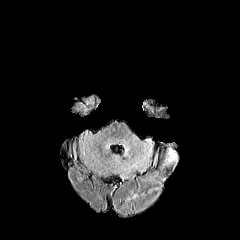
FLAIR magnetic resonance.
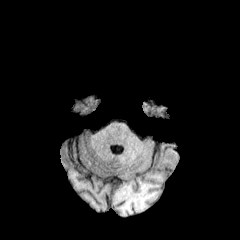
T1-weighted magnetic resonance.
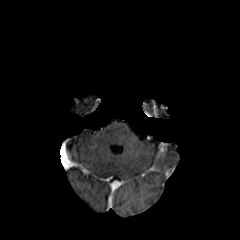
Post-contrast T1-weighted MR.
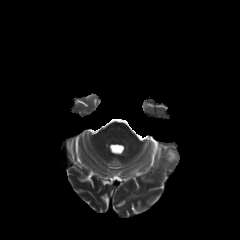
T2-weighted MR image.
Head, 240x240 px
Annotated regions:
- peritumoral edema: (168,150,176,160)